FLAIR MRI.
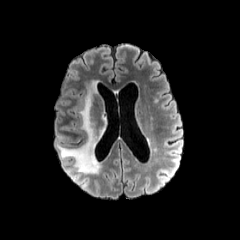
T1-weighted MRI.
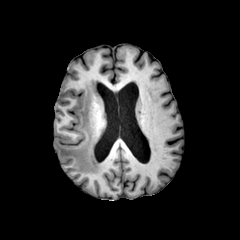
Post-contrast T1-weighted magnetic resonance.
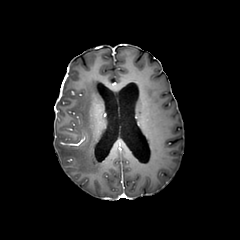
T2-weighted MR image.
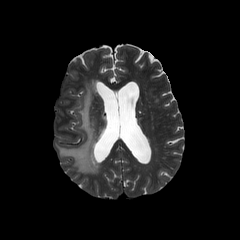
Axial plane, Brain
Findings:
* peritumoral edema: [57,81,102,173]